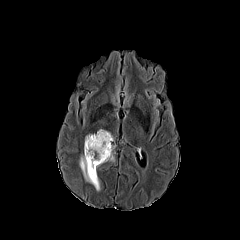
FLAIR MR image.
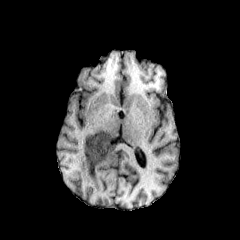
T1-weighted magnetic resonance.
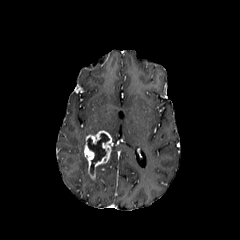
Post-contrast T1-weighted MR image of the same slice.
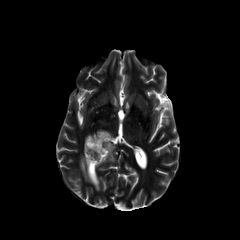
Same slice, T2-weighted magnetic resonance.
Axial slice.
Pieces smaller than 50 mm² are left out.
<segmentation>
  <necrotic_tumor_core><box>87,133,109,174</box></necrotic_tumor_core>
  <enhancing_tumor><box>84,130,113,180</box></enhancing_tumor>
  <peritumoral_edema><box>79,155,100,191</box></peritumoral_edema>
</segmentation>